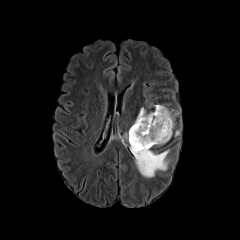
FLAIR MRI.
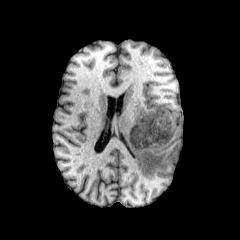
T1-weighted MR image.
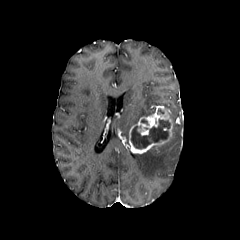
Post-contrast T1-weighted magnetic resonance of the same slice.
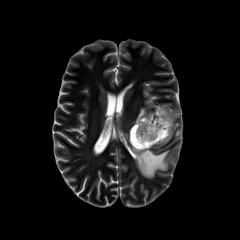
T2-weighted magnetic resonance of the same slice.
Axial slice. 240x240.
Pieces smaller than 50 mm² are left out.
{"necrotic_tumor_core": ["(131,119,170,148)"], "enhancing_tumor": ["(129,105,173,153)"], "peritumoral_edema": ["(134,149,169,177)", "(133,107,154,124)"]}